Brain. 240x240 px. Axial slice.
FLAIR magnetic resonance.
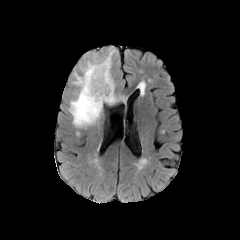
T1-weighted MR image.
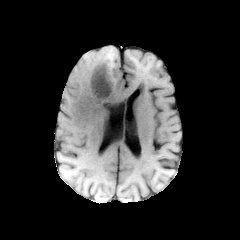
Post-contrast T1-weighted MR image.
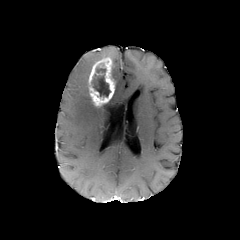
T2-weighted MR image.
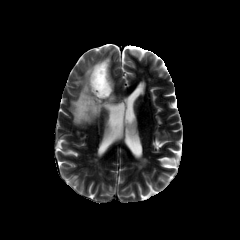
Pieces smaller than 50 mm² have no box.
enhancing tumor — x1=88 y1=58 x2=114 y2=107
necrotic tumor core — x1=92 y1=74 x2=110 y2=96
peritumoral edema — x1=107 y1=92 x2=125 y2=105, x1=69 y1=50 x2=115 y2=127